FLAIR MR image.
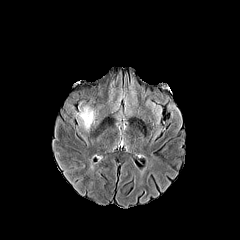
T1-weighted MRI.
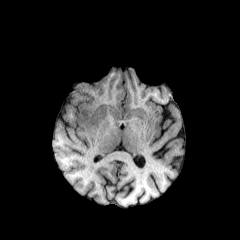
Post-contrast T1-weighted magnetic resonance.
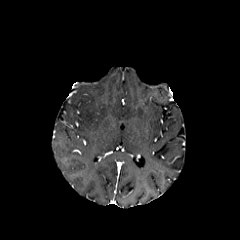
T2-weighted MR image.
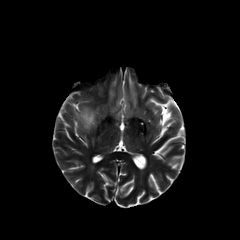
Head.
Findings:
- peritumoral edema: x1=79, y1=106, x2=95, y2=129